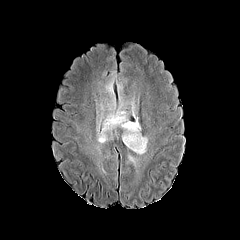
FLAIR MR image.
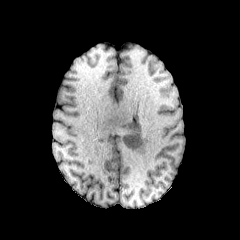
T1-weighted MR image of the same slice.
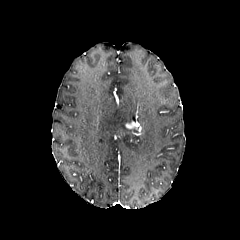
Post-contrast T1-weighted MR image of the same slice.
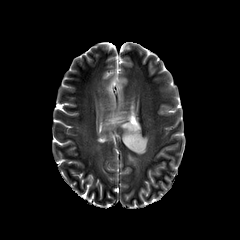
Same slice, T2-weighted magnetic resonance.
Brain
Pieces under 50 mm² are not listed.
peritumoral edema: bounding box 130 99 134 116, 98 97 147 154, 105 76 116 95
enhancing tumor: bounding box 125 121 141 134